Head. Slice index 112.
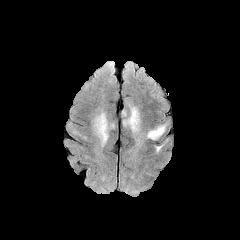
FLAIR MR.
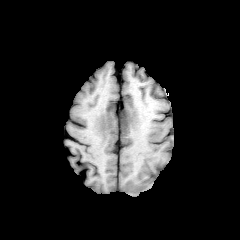
T1-weighted magnetic resonance.
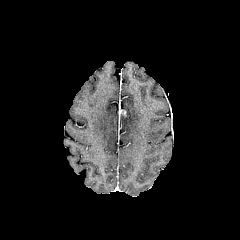
Post-contrast T1-weighted MR.
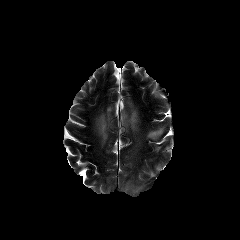
T2-weighted MR.
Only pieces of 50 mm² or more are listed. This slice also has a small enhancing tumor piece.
Segmented structures:
* peritumoral edema: l=147, t=125, r=165, b=139; l=122, t=102, r=139, b=133; l=94, t=112, r=114, b=146